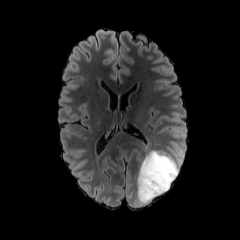
FLAIR magnetic resonance.
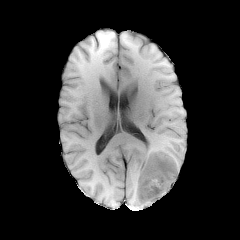
Same slice, T1-weighted MRI.
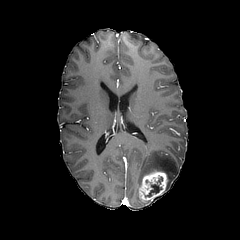
Post-contrast T1-weighted MR image.
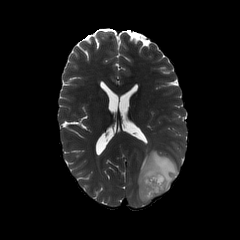
Same slice, T2-weighted MR image.
Image size 240x240 | Head | Axial view
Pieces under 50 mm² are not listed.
enhancing tumor — bbox(139, 170, 167, 201)
peritumoral edema — bbox(135, 150, 179, 205)
necrotic tumor core — bbox(145, 177, 162, 196)